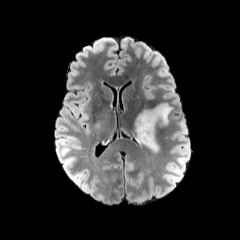
FLAIR magnetic resonance.
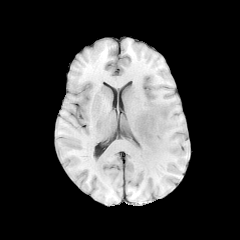
T1-weighted MR of the same slice.
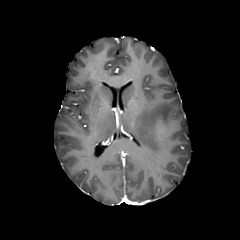
Post-contrast T1-weighted MRI of the same slice.
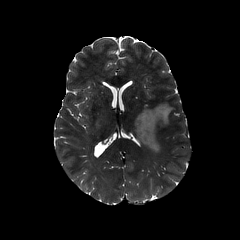
T2-weighted MRI.
Axial plane | Brain | 240x240
The peritumoral edema is located at {"x1": 134, "y1": 103, "x2": 173, "y2": 152}.